Axial slice; Slice 87 of 155
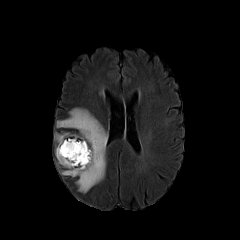
FLAIR MR.
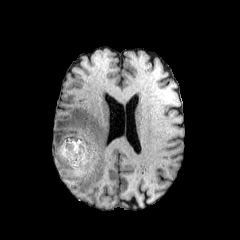
Same slice, T1-weighted MR image.
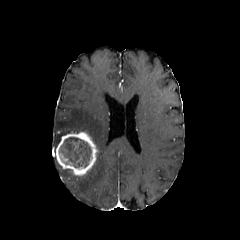
Post-contrast T1-weighted MR image of the same slice.
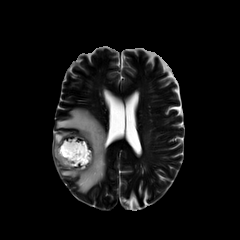
T2-weighted MR image.
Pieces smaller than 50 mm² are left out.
Annotated regions:
- necrotic tumor core: rect(59, 137, 91, 167)
- enhancing tumor: rect(56, 132, 98, 175)
- peritumoral edema: rect(56, 108, 107, 193); rect(54, 132, 68, 147); rect(61, 169, 75, 177)